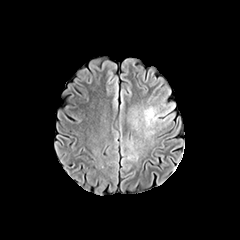
FLAIR magnetic resonance.
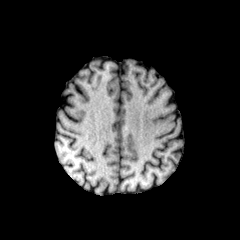
T1-weighted magnetic resonance of the same slice.
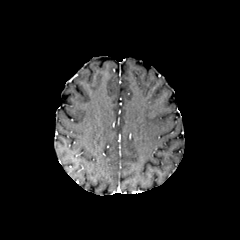
Same slice, post-contrast T1-weighted magnetic resonance.
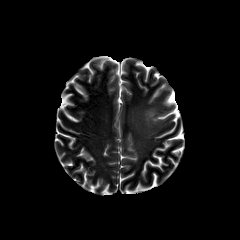
T2-weighted MR image.
Brain.
Annotated regions:
* peritumoral edema: 142:107:161:126